Image width 240 mm, Slice 76 of 155
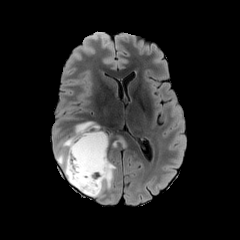
FLAIR MRI.
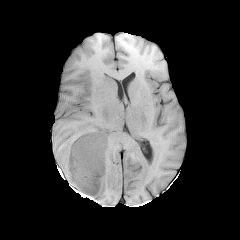
Same slice, T1-weighted MR image.
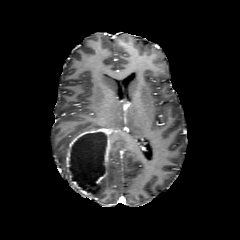
Post-contrast T1-weighted MR image of the same slice.
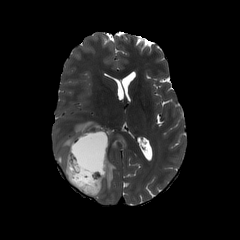
Same slice, T2-weighted MRI.
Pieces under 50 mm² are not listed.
Findings:
* peritumoral edema: box=[94, 160, 115, 197]; box=[56, 121, 99, 181]
* necrotic tumor core: box=[70, 133, 107, 196]
* enhancing tumor: box=[96, 138, 110, 190]; box=[65, 130, 101, 197]